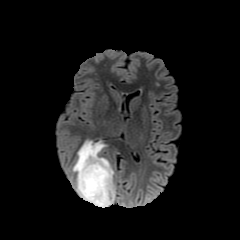
FLAIR MRI.
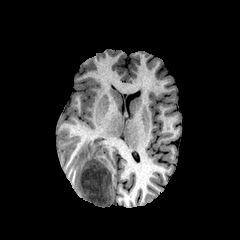
T1-weighted MR image of the same slice.
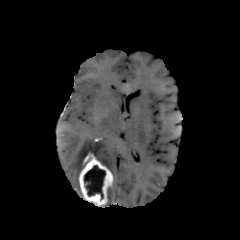
Same slice, post-contrast T1-weighted MR.
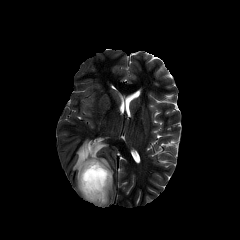
T2-weighted MRI of the same slice.
Head; 240x240
2 peritumoral edema regions appear at (x1=106, y1=182, x2=115, y2=206), (x1=72, y1=140, x2=113, y2=197). The enhancing tumor is located at (x1=78, y1=152, x2=113, y2=207). The necrotic tumor core is located at (x1=84, y1=164, x2=105, y2=199).